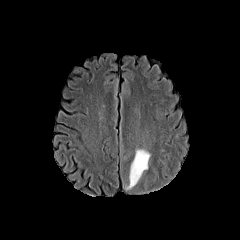
FLAIR MR image.
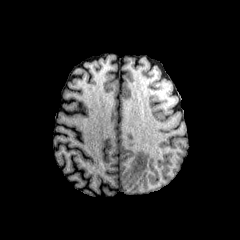
T1-weighted MR.
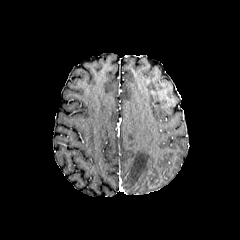
Post-contrast T1-weighted MRI of the same slice.
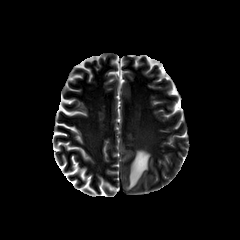
T2-weighted magnetic resonance.
Brain. Axial slice. 240x240 px.
Segmented structures:
* peritumoral edema: 125:149:150:190